Brain. Slice 47/155.
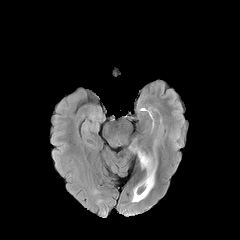
FLAIR MR image.
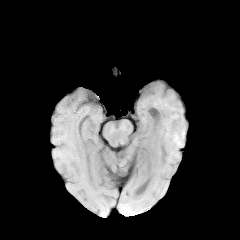
Same slice, T1-weighted magnetic resonance.
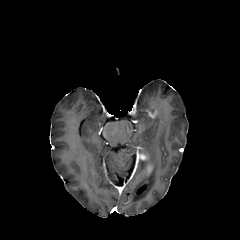
Same slice, post-contrast T1-weighted MRI.
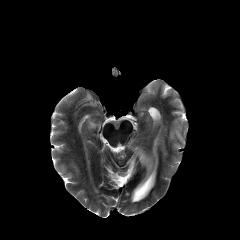
Same slice, T2-weighted MRI.
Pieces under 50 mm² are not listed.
The largest peritumoral edema region appears at (left=132, top=155, right=156, bottom=202). The largest enhancing tumor region is located at (left=137, top=149, right=148, bottom=160).